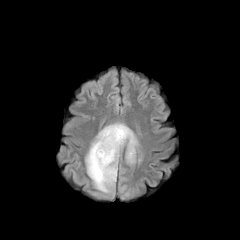
FLAIR MR image.
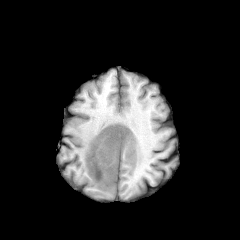
T1-weighted MR image.
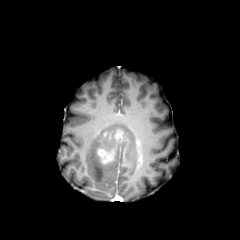
Post-contrast T1-weighted magnetic resonance.
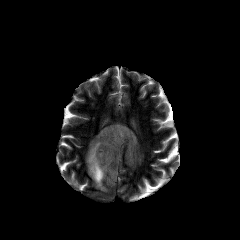
T2-weighted MR of the same slice.
Head | 240x240
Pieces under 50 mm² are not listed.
The 2 largest enhancing tumor regions are located at [115, 130, 123, 141], [98, 149, 114, 163]. The peritumoral edema is bounded by [85, 123, 138, 192].